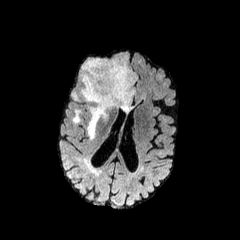
FLAIR magnetic resonance.
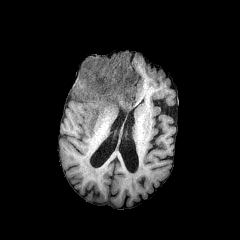
T1-weighted MR image of the same slice.
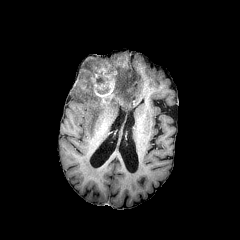
Post-contrast T1-weighted magnetic resonance.
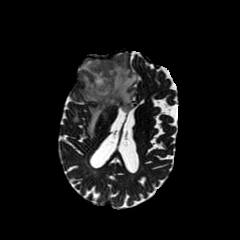
Same slice, T2-weighted MR image.
Brain; 240x240 px
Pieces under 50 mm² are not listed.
The 2 largest peritumoral edema regions are located at (80,54,136,139), (73,111,79,123). The enhancing tumor lies within (90,57,126,105). The largest necrotic tumor core region is bounded by (96,76,104,84).